FLAIR MR image.
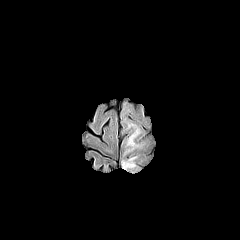
T1-weighted magnetic resonance.
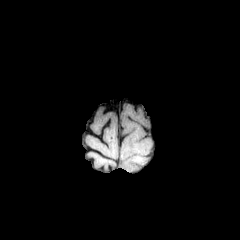
Post-contrast T1-weighted MR image.
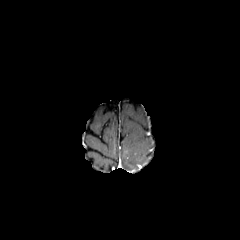
T2-weighted MR image.
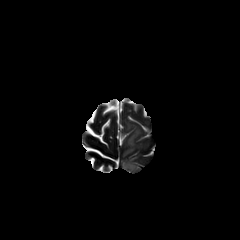
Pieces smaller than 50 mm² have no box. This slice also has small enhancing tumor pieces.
Findings:
• peritumoral edema: [x1=125, y1=122, x2=144, y2=151], [x1=121, y1=155, x2=137, y2=171]